240x240. Slice 99 of 155.
FLAIR MRI.
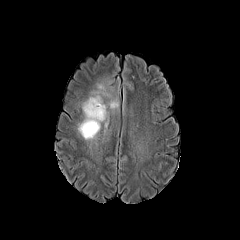
T1-weighted magnetic resonance.
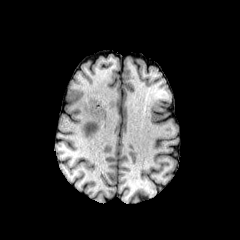
Post-contrast T1-weighted MR image.
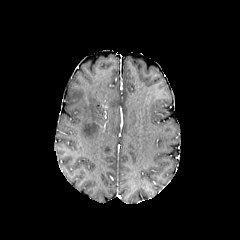
T2-weighted magnetic resonance.
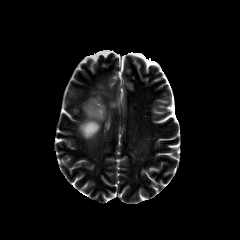
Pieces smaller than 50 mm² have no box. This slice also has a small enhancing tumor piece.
- peritumoral edema: 78:77:118:140